FLAIR MRI.
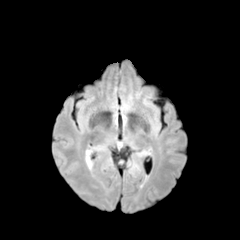
T1-weighted magnetic resonance.
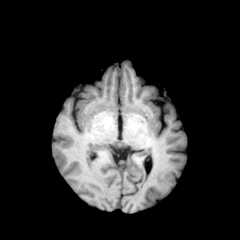
Post-contrast T1-weighted MRI.
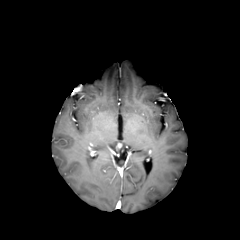
T2-weighted MR.
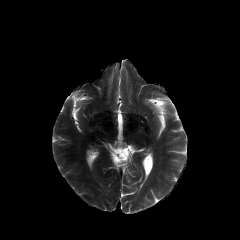
Head
<segmentation>
  <peritumoral_edema>[86, 150, 91, 168]</peritumoral_edema>
</segmentation>